FLAIR MRI.
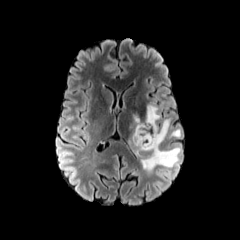
T1-weighted MR image.
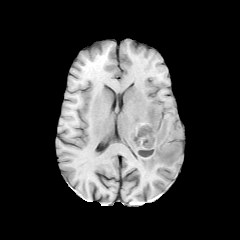
Post-contrast T1-weighted MR image.
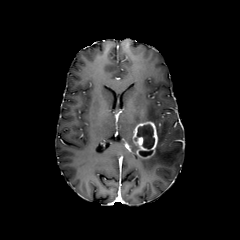
T2-weighted MR.
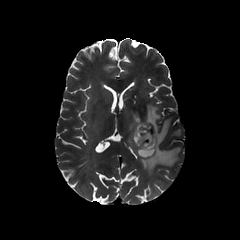
enhancing tumor = 133,121,158,158; 134,137,147,157
necrotic tumor core = 134,123,154,157
peritumoral edema = 171,129,180,136; 126,105,181,174